Brain, 240x240 px, Axial view
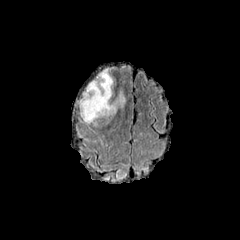
FLAIR magnetic resonance.
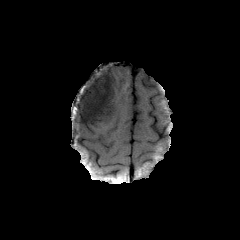
T1-weighted MRI.
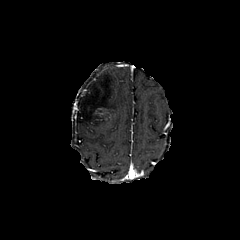
Post-contrast T1-weighted MR of the same slice.
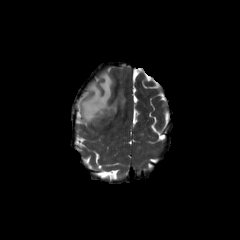
T2-weighted MRI.
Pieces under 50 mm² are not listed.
enhancing tumor: <bbox>95, 107, 115, 120</bbox> | peritumoral edema: <bbox>78, 68, 125, 126</bbox>